FLAIR MRI.
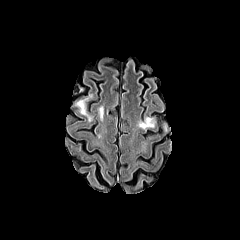
T1-weighted magnetic resonance.
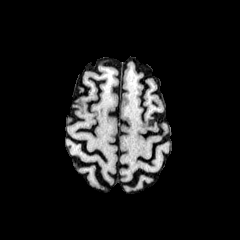
Post-contrast T1-weighted MRI.
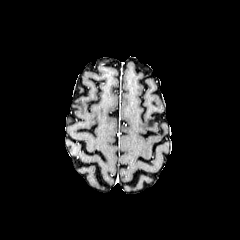
T2-weighted MR image.
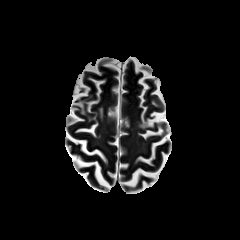
Brain | Image size 240x240
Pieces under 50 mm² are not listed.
The 3 largest peritumoral edema regions are located at x1=138, y1=116, x2=155, y2=129; x1=76, y1=94, x2=93, y2=121; x1=98, y1=106, x2=103, y2=120.